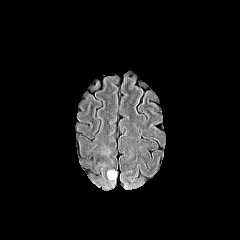
FLAIR magnetic resonance.
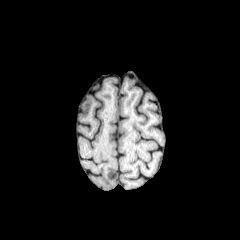
T1-weighted MR image.
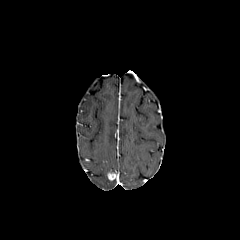
Same slice, post-contrast T1-weighted MRI.
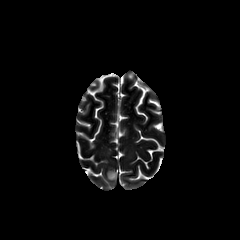
T2-weighted MR image of the same slice.
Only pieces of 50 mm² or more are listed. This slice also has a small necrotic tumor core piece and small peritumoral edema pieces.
enhancing tumor — {"x1": 107, "y1": 172, "x2": 116, "y2": 180}